Brain.
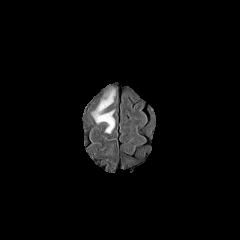
FLAIR magnetic resonance.
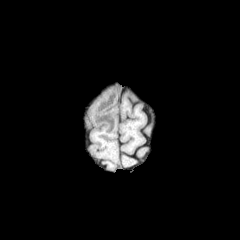
Same slice, T1-weighted MRI.
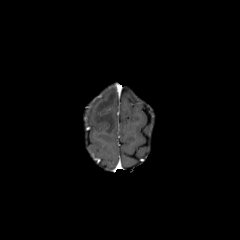
Post-contrast T1-weighted MRI.
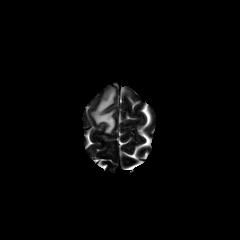
Same slice, T2-weighted magnetic resonance.
<segmentation>
  <peritumoral_edema>92, 89, 115, 133</peritumoral_edema>
</segmentation>